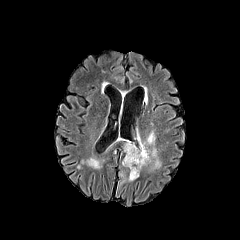
FLAIR MRI.
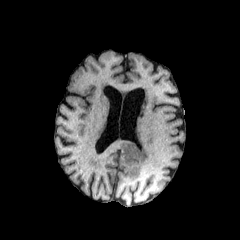
T1-weighted MRI.
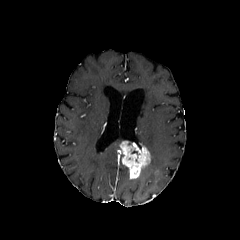
Post-contrast T1-weighted MR.
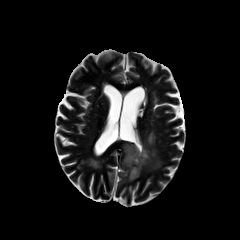
Same slice, T2-weighted MRI.
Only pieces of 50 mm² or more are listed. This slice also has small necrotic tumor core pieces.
enhancing tumor at 120:141:150:178
peritumoral edema at 119:172:134:182, 137:131:161:169